FLAIR MRI.
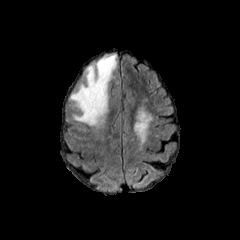
T1-weighted magnetic resonance.
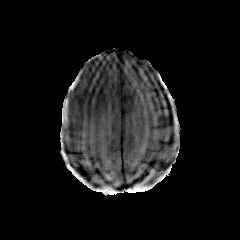
Post-contrast T1-weighted MRI.
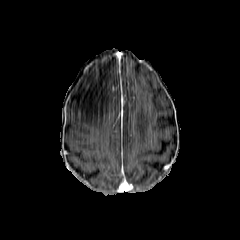
T2-weighted MR image.
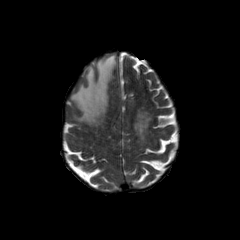
Head. 240x240 px. Axial slice.
peritumoral edema at bbox=[70, 54, 116, 126]